Image size 240x240; Brain
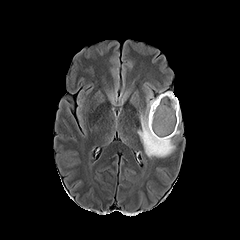
FLAIR MR image.
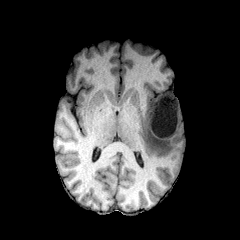
T1-weighted MR image.
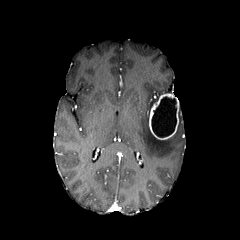
Post-contrast T1-weighted MR.
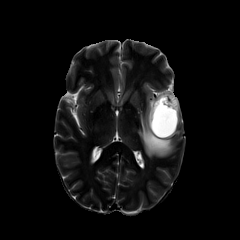
Same slice, T2-weighted magnetic resonance.
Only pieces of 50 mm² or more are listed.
necrotic tumor core: {"x1": 151, "y1": 96, "x2": 176, "y2": 137} | peritumoral edema: {"x1": 137, "y1": 92, "x2": 175, "y2": 157} | enhancing tumor: {"x1": 149, "y1": 93, "x2": 179, "y2": 139}